Head, Image width 240 mm, Slice 42 of 155
FLAIR MR.
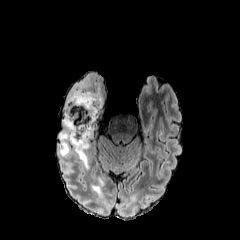
T1-weighted MR.
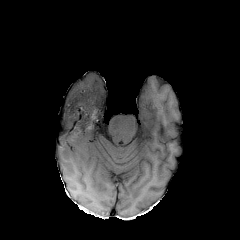
Post-contrast T1-weighted MR.
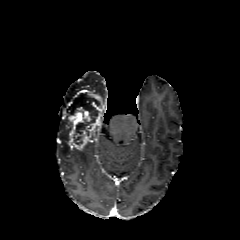
T2-weighted MRI.
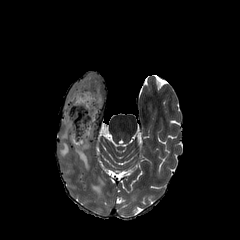
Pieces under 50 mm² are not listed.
necrotic tumor core: {"x1": 67, "y1": 93, "x2": 100, "y2": 144}
enhancing tumor: {"x1": 69, "y1": 89, "x2": 102, "y2": 150}
peritumoral edema: {"x1": 59, "y1": 82, "x2": 89, "y2": 157}, {"x1": 74, "y1": 142, "x2": 89, "y2": 169}, {"x1": 91, "y1": 177, "x2": 103, "y2": 195}